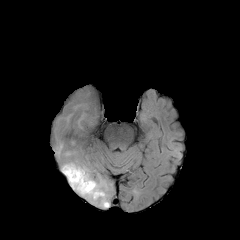
FLAIR MR image.
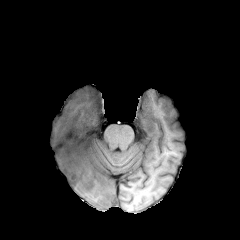
T1-weighted MR of the same slice.
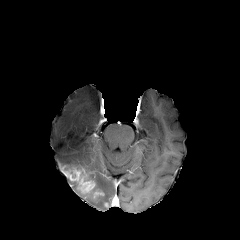
Post-contrast T1-weighted MRI.
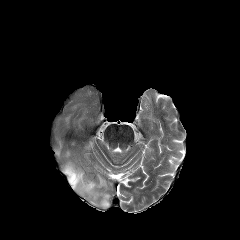
Same slice, T2-weighted MR image.
Axial plane, Brain
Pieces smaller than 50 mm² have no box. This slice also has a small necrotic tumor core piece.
{"peritumoral_edema": ["x1=54, y1=139, x2=111, y2=208"], "enhancing_tumor": ["x1=61, y1=165, x2=95, y2=194"]}